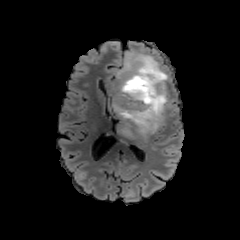
FLAIR MRI.
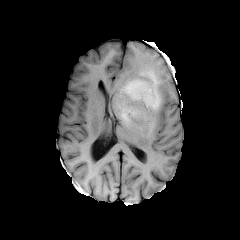
Same slice, T1-weighted MR.
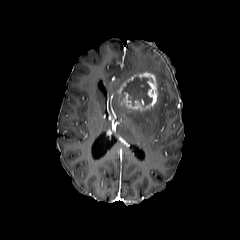
Post-contrast T1-weighted MRI.
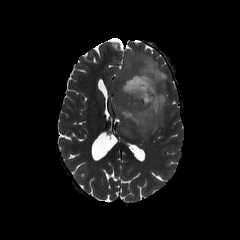
T2-weighted MR.
Axial slice | Head
Segmented structures:
• necrotic tumor core: <box>124,76,151,105</box>
• enhancing tumor: <box>119,72,158,110</box>
• peritumoral edema: <box>113,50,168,136</box>